Image width 240 mm, 1.00 mm slice spacing; Brain
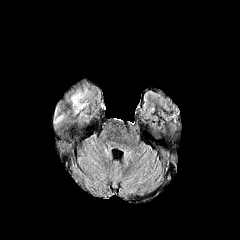
FLAIR magnetic resonance.
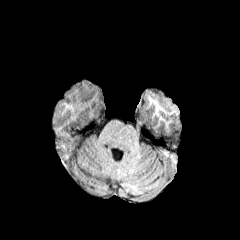
T1-weighted MR image.
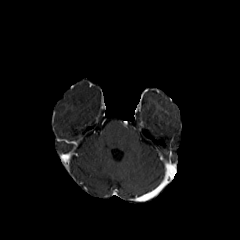
Post-contrast T1-weighted magnetic resonance.
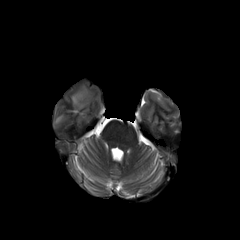
T2-weighted MR of the same slice.
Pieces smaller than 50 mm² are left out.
The largest peritumoral edema region is at [71, 89, 88, 113].